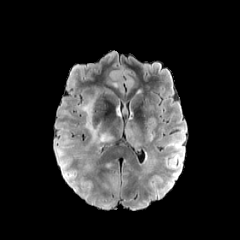
FLAIR magnetic resonance.
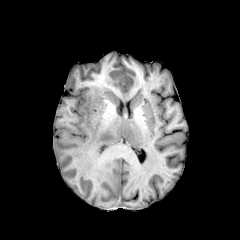
Same slice, T1-weighted MRI.
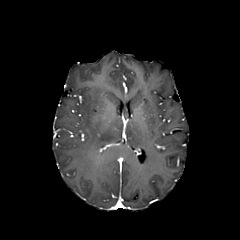
Post-contrast T1-weighted MR image.
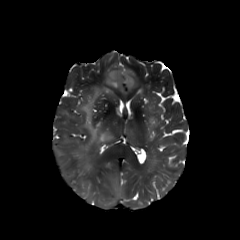
Same slice, T2-weighted MRI.
Head. 240x240. Axial slice.
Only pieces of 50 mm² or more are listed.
{
  "peritumoral_edema": [
    "(left=56, top=148, right=65, bottom=169)",
    "(left=124, top=123, right=142, bottom=148)",
    "(left=80, top=97, right=112, bottom=144)"
  ]
}